Image width 240 mm | Slice 76 of 155 | 240x240 px
FLAIR MR.
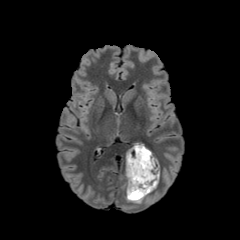
T1-weighted magnetic resonance.
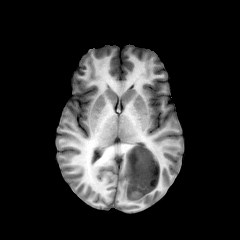
Post-contrast T1-weighted MR.
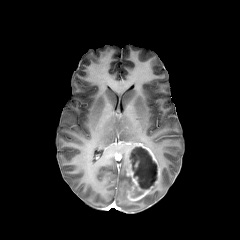
T2-weighted magnetic resonance.
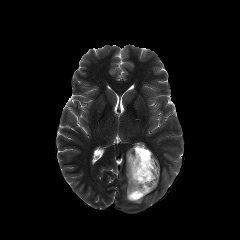
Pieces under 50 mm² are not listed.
The largest peritumoral edema region is bounded by region(126, 177, 143, 203). The largest necrotic tumor core region appears at region(129, 147, 157, 189). The largest enhancing tumor region is at region(126, 143, 159, 200).